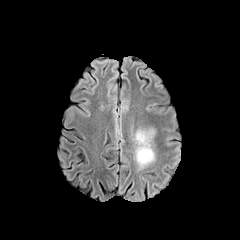
FLAIR MR.
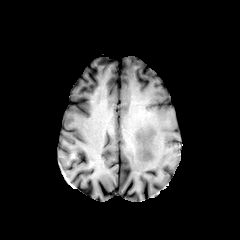
T1-weighted magnetic resonance of the same slice.
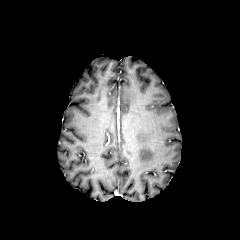
Post-contrast T1-weighted MR of the same slice.
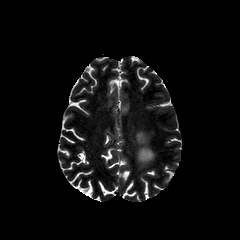
T2-weighted MRI.
240x240
The peritumoral edema lies within (136,131,154,166).